FLAIR MR.
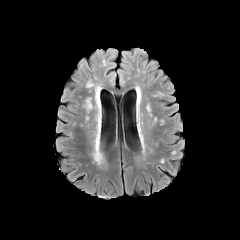
T1-weighted MRI.
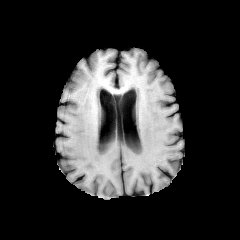
Post-contrast T1-weighted MR image.
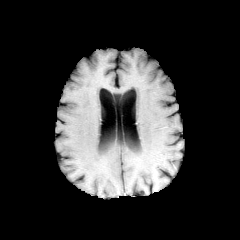
T2-weighted MR.
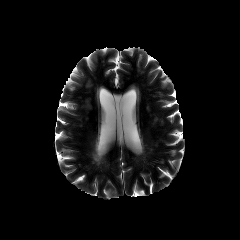
Axial view; 240x240 px
peritumoral edema: [93,126,102,163]